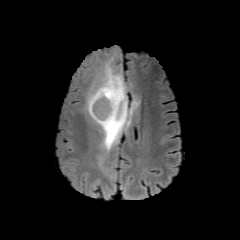
FLAIR MRI.
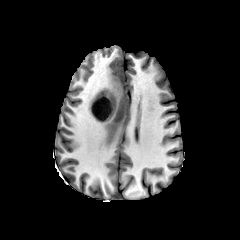
T1-weighted MRI of the same slice.
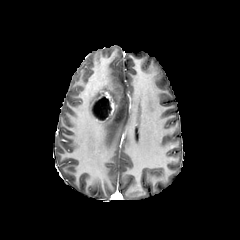
Post-contrast T1-weighted MRI of the same slice.
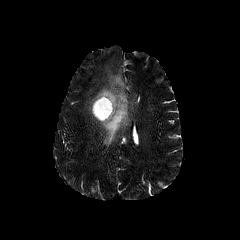
T2-weighted MR of the same slice.
Image size 240x240, Head, Axial view
The necrotic tumor core is bounded by 93,98,111,120. 2 peritumoral edema regions appear at 130,98,138,114; 86,62,130,151. The enhancing tumor is bounded by 91,91,115,122.